Brain. 240x240 px. Slice 83/155.
FLAIR MRI.
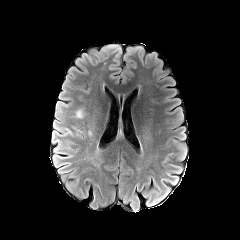
T1-weighted magnetic resonance.
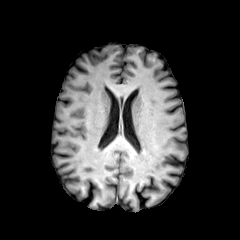
Post-contrast T1-weighted MR image.
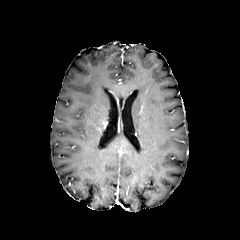
T2-weighted MRI.
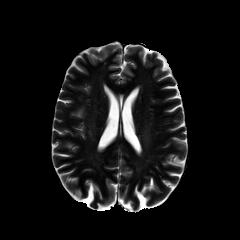
* peritumoral edema: 75:108:84:118